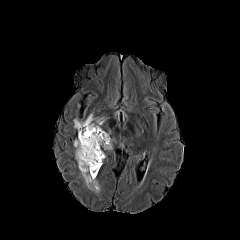
FLAIR MR image.
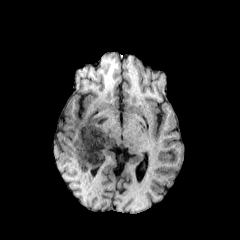
T1-weighted MR.
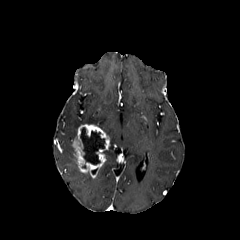
Same slice, post-contrast T1-weighted MRI.
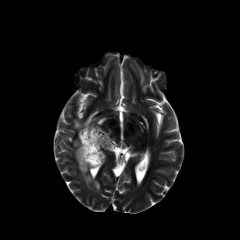
T2-weighted magnetic resonance.
Axial plane.
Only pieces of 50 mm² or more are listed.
The largest necrotic tumor core region is at (x1=80, y1=127, x2=104, y2=164). The 2 largest peritumoral edema regions appear at (x1=73, y1=114, x2=104, y2=130), (x1=81, y1=172, x2=99, y2=192). The enhancing tumor is at (x1=72, y1=124, x2=110, y2=178).